Head. 240x240 px. Image width 240 mm, 1.00 mm slice spacing.
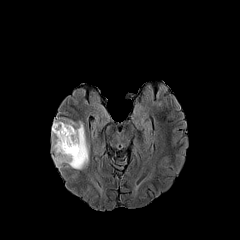
FLAIR magnetic resonance.
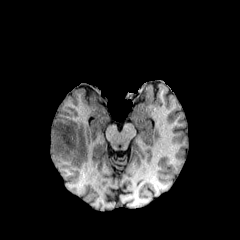
Same slice, T1-weighted MR image.
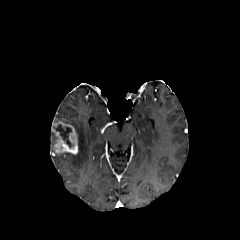
Same slice, post-contrast T1-weighted MR image.
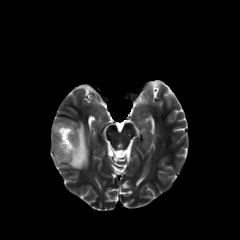
T2-weighted MRI of the same slice.
<segmentation>
  <peritumoral_edema>x1=53, y1=117, x2=89, y2=169; x1=51, y1=132, x2=55, y2=152</peritumoral_edema>
  <necrotic_tumor_core>x1=53, y1=124, x2=72, y2=147</necrotic_tumor_core>
  <enhancing_tumor>x1=51, y1=120, x2=78, y2=154</enhancing_tumor>
</segmentation>